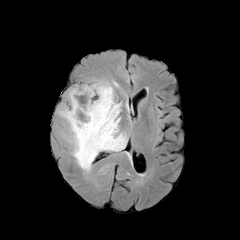
FLAIR MR image.
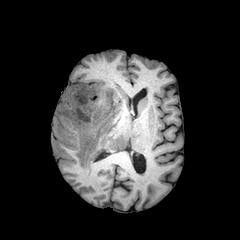
T1-weighted magnetic resonance.
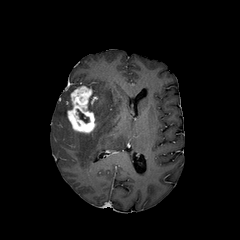
Post-contrast T1-weighted magnetic resonance.
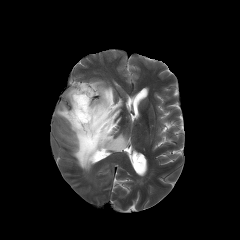
Same slice, T2-weighted MR image.
Head
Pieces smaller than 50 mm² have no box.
• enhancing tumor: bbox=[67, 85, 96, 133]
• necrotic tumor core: bbox=[77, 109, 88, 122]
• peritumoral edema: bbox=[57, 81, 127, 171]